FLAIR magnetic resonance.
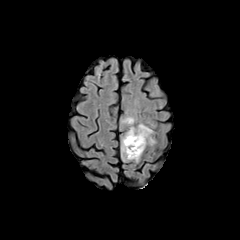
T1-weighted MRI.
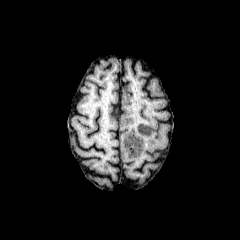
Post-contrast T1-weighted MR.
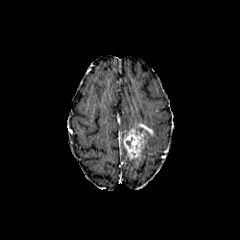
T2-weighted MRI.
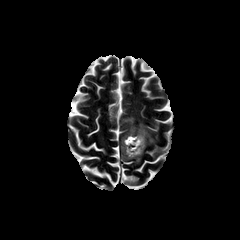
240x240 px
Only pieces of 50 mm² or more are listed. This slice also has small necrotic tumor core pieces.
The enhancing tumor appears at (x1=123, y1=123, x2=153, y2=159). The 3 largest peritumoral edema regions are bounded by (x1=121, y1=116, x2=135, y2=130), (x1=145, y1=135, x2=155, y2=147), (x1=121, y1=137, x2=129, y2=160).